FLAIR MR image.
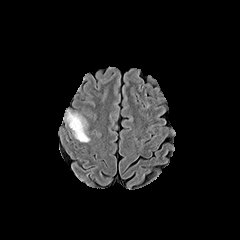
T1-weighted MR image.
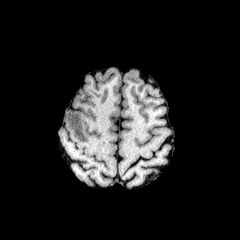
Post-contrast T1-weighted magnetic resonance.
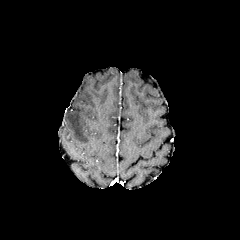
T2-weighted magnetic resonance.
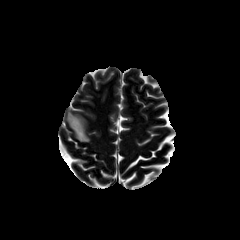
Annotated regions:
• peritumoral edema: 66, 111, 89, 142